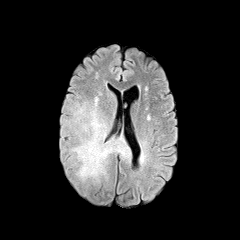
FLAIR MR.
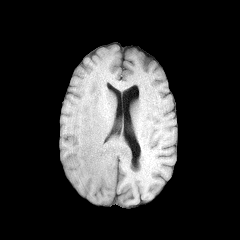
T1-weighted MR image.
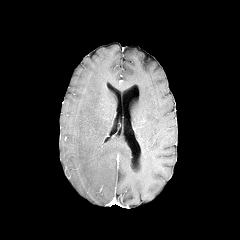
Same slice, post-contrast T1-weighted MR.
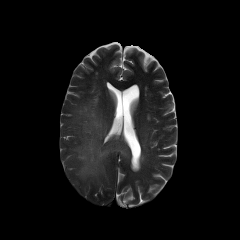
T2-weighted MR image of the same slice.
peritumoral edema: {"x1": 71, "y1": 97, "x2": 129, "y2": 182}